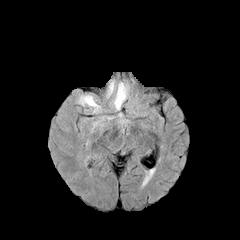
FLAIR magnetic resonance.
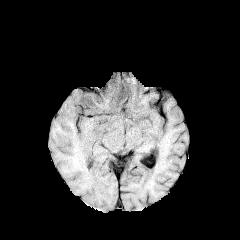
Same slice, T1-weighted MRI.
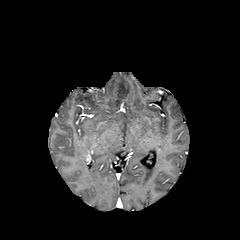
Post-contrast T1-weighted MR image.
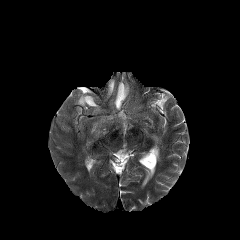
T2-weighted MRI.
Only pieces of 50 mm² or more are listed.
peritumoral edema — <bbox>78, 95, 100, 112</bbox>, <bbox>113, 82, 129, 109</bbox>, <bbox>107, 80, 114, 97</bbox>